Axial view. 240x240 px.
FLAIR MRI.
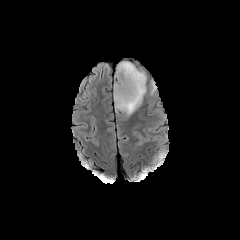
T1-weighted MR.
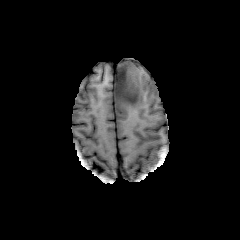
Post-contrast T1-weighted magnetic resonance.
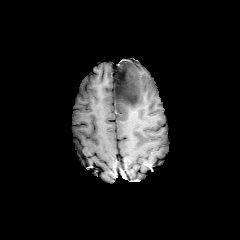
T2-weighted MR.
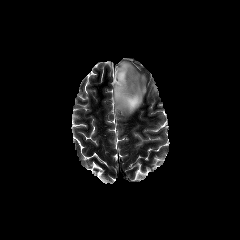
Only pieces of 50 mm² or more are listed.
The necrotic tumor core is located at 114,62,139,106. The largest peritumoral edema region lies within 114,61,146,120.